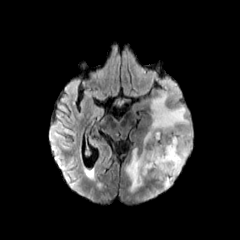
FLAIR MRI.
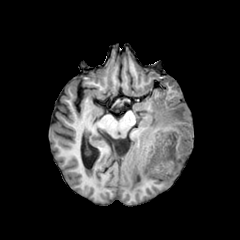
T1-weighted magnetic resonance.
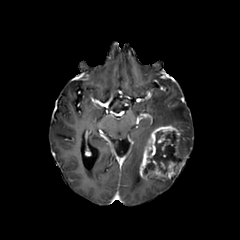
Post-contrast T1-weighted MR of the same slice.
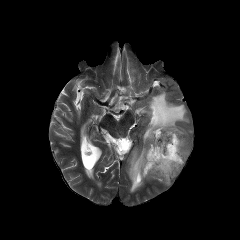
T2-weighted MR image.
Brain, Image size 240x240, Axial plane
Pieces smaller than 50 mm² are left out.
enhancing tumor: box=[139, 125, 187, 181]
peritumoral edema: box=[162, 174, 178, 189]; box=[125, 94, 192, 192]
necrotic tumor core: box=[143, 131, 182, 174]